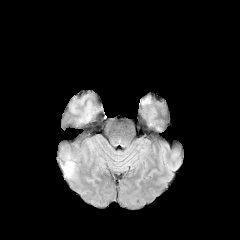
FLAIR MR image.
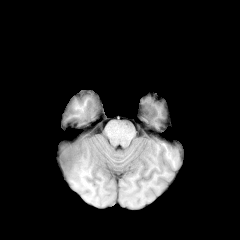
Same slice, T1-weighted magnetic resonance.
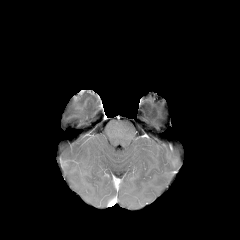
Post-contrast T1-weighted MR image.
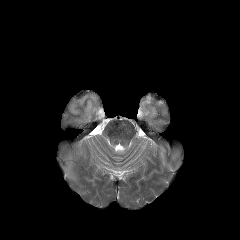
Same slice, T2-weighted magnetic resonance.
Head
peritumoral edema: (63, 161, 73, 176)